Slice 77/155, Brain
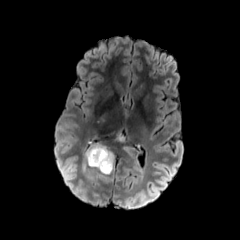
FLAIR MRI.
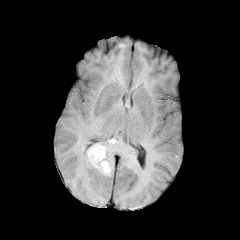
Same slice, T1-weighted MR image.
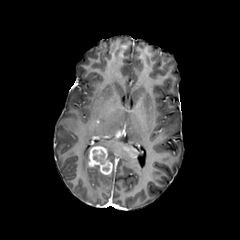
Post-contrast T1-weighted MR of the same slice.
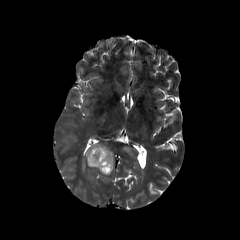
Same slice, T2-weighted MR.
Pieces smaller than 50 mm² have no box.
<segmentation>
  <necrotic_tumor_core>(93, 149, 105, 164)</necrotic_tumor_core>
  <peritumoral_edema>(81, 141, 114, 183)</peritumoral_edema>
  <enhancing_tumor>(88, 146, 112, 174), (116, 130, 122, 139), (123, 146, 138, 157)</enhancing_tumor>
</segmentation>